FLAIR magnetic resonance.
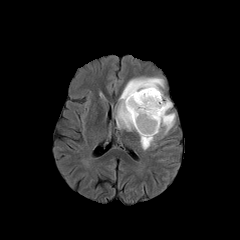
T1-weighted magnetic resonance.
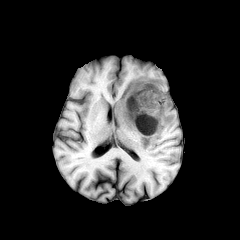
Post-contrast T1-weighted MRI.
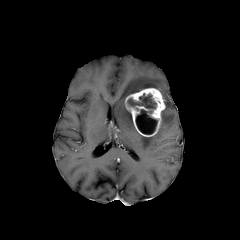
T2-weighted MR image.
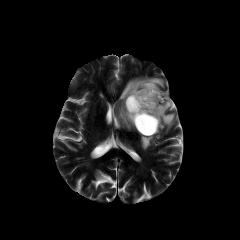
Axial plane, Brain
necrotic tumor core: rect(135, 109, 157, 134); rect(128, 93, 156, 108) | enhancing tumor: rect(125, 88, 165, 136) | peritumoral edema: rect(115, 77, 175, 149)